240x240 px
FLAIR MR image.
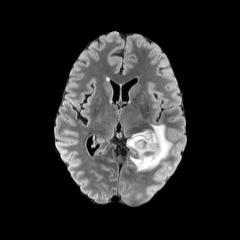
T1-weighted MRI.
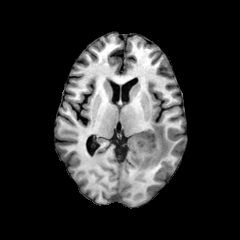
Post-contrast T1-weighted MRI.
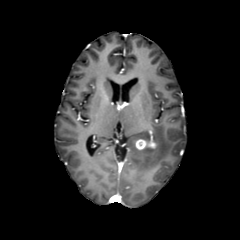
T2-weighted MR image.
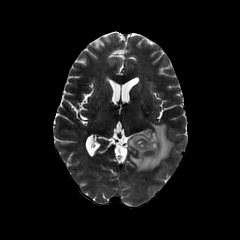
peritumoral edema: bounding box [x1=125, y1=124, x2=172, y2=171]
enhancing tumor: bounding box [x1=135, y1=138, x2=156, y2=150]